FLAIR MRI.
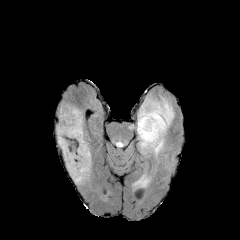
T1-weighted MRI.
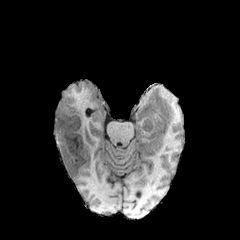
Post-contrast T1-weighted MR image.
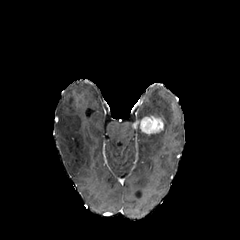
T2-weighted MR.
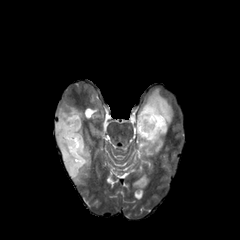
240x240 px
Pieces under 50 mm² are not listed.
<segmentation>
  <enhancing_tumor>[133, 115, 163, 135]</enhancing_tumor>
  <peritumoral_edema>[137, 92, 173, 157], [131, 174, 149, 188], [57, 101, 92, 186]</peritumoral_edema>
</segmentation>